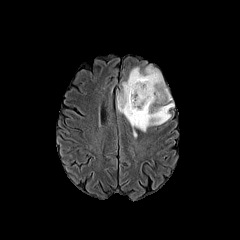
FLAIR MRI.
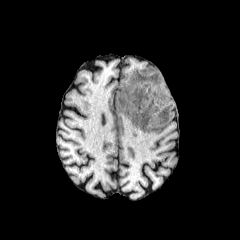
T1-weighted MR.
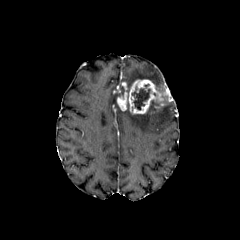
Post-contrast T1-weighted magnetic resonance.
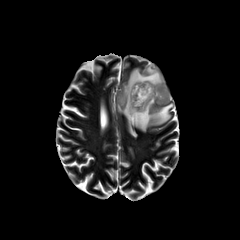
T2-weighted MR.
240x240 px | Head
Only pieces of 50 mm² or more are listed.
necrotic tumor core: [131,86,150,110] | peritumoral edema: [127,65,163,89], [117,103,174,137] | enhancing tumor: [117,82,127,111], [128,79,163,114]